FLAIR MR.
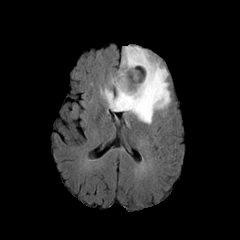
T1-weighted MRI.
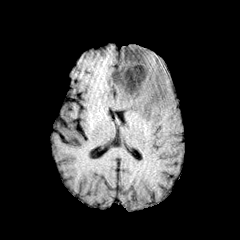
Post-contrast T1-weighted MRI.
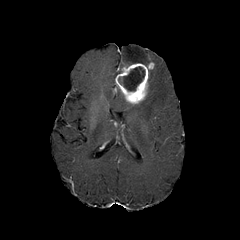
T2-weighted MRI.
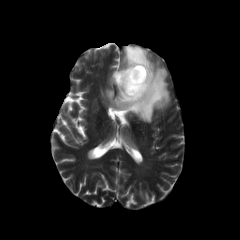
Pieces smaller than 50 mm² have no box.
necrotic_tumor_core:
  - rect(118, 66, 144, 90)
enhancing_tumor:
  - rect(115, 62, 154, 105)
peritumoral_edema:
  - rect(101, 45, 170, 123)